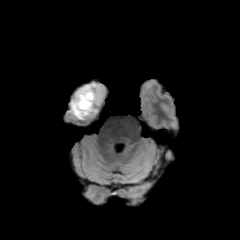
FLAIR MR image.
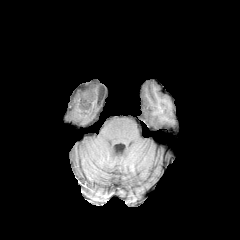
Same slice, T1-weighted MR.
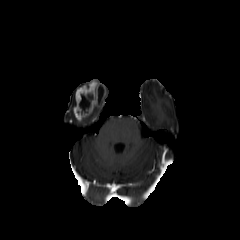
Post-contrast T1-weighted magnetic resonance of the same slice.
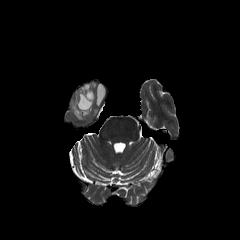
T2-weighted MR.
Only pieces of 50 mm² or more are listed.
necrotic tumor core at 98 85 103 101, 79 94 93 112
peritumoral edema at 70 95 75 114
enhancing tumor at 73 80 105 121